FLAIR MRI.
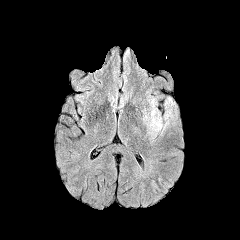
T1-weighted magnetic resonance.
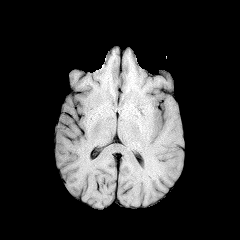
Post-contrast T1-weighted MRI.
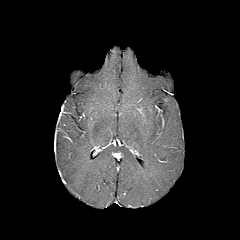
T2-weighted MRI.
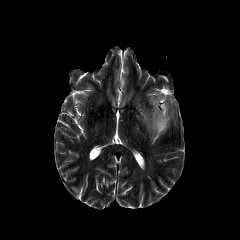
Head, Axial slice
The peritumoral edema is bounded by 143 98 173 140.